Brain; Slice 95 of 155; Image size 240x240
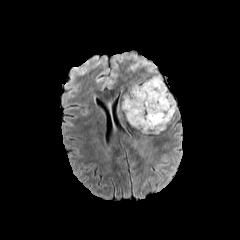
FLAIR MR.
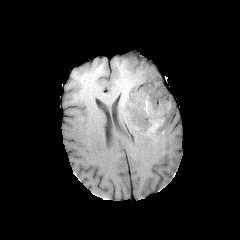
Same slice, T1-weighted magnetic resonance.
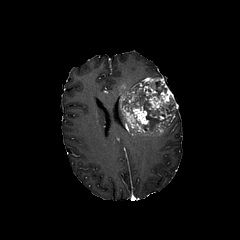
Same slice, post-contrast T1-weighted magnetic resonance.
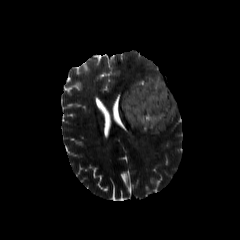
Same slice, T2-weighted magnetic resonance.
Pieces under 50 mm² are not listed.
necrotic tumor core — [x1=153, y1=81, x2=163, y2=97], [x1=124, y1=87, x2=177, y2=131]
enhancing tumor — [x1=119, y1=77, x2=173, y2=135]
peritumoral edema — [x1=142, y1=60, x2=154, y2=72]